FLAIR MR.
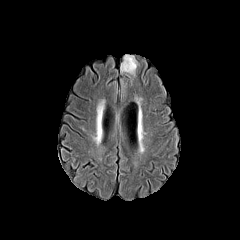
T1-weighted magnetic resonance.
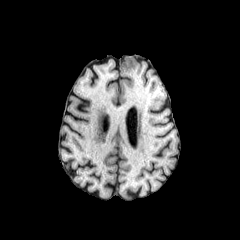
Post-contrast T1-weighted MR image.
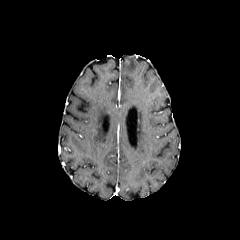
T2-weighted MR.
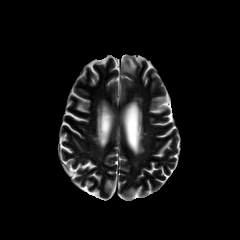
Brain
peritumoral_edema:
  - x1=121, y1=55, x2=137, y2=75